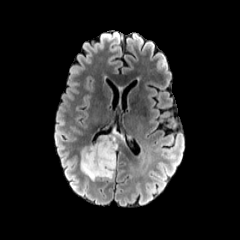
FLAIR magnetic resonance.
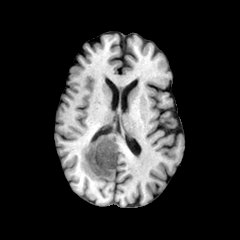
T1-weighted MRI.
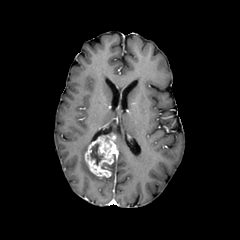
Post-contrast T1-weighted MRI.
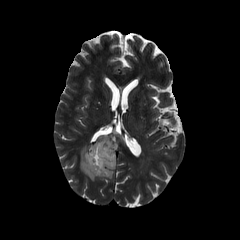
T2-weighted MRI.
Axial plane | 240x240 px | Head
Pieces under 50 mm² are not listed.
{"enhancing_tumor": ["box(84, 133, 117, 177)"], "necrotic_tumor_core": ["box(90, 143, 103, 165)"], "peritumoral_edema": ["box(81, 147, 99, 179)", "box(107, 160, 116, 179)"]}